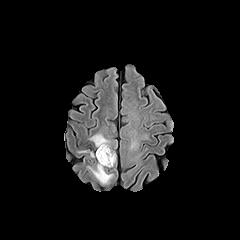
FLAIR MRI.
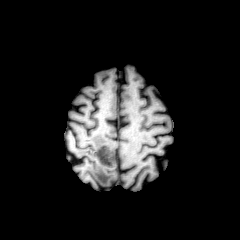
T1-weighted MR.
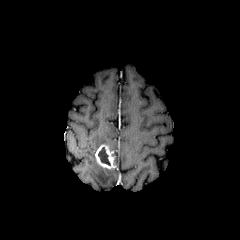
Post-contrast T1-weighted MR of the same slice.
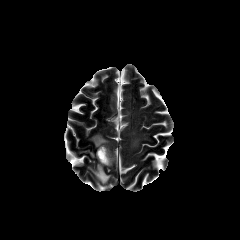
T2-weighted MR of the same slice.
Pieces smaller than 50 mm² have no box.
necrotic tumor core — (98, 147, 110, 165)
enhancing tumor — (95, 144, 115, 168)
peritumoral edema — (90, 133, 110, 148), (87, 163, 113, 184)